Image width 240 mm, 1.00 mm slice spacing. Brain. 240x240.
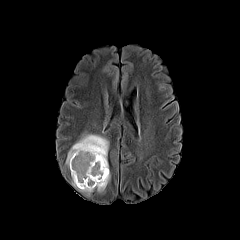
FLAIR magnetic resonance.
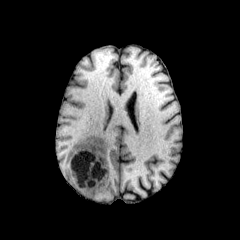
T1-weighted MRI.
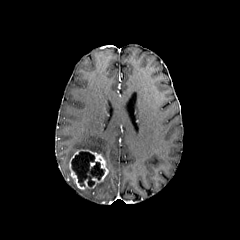
Same slice, post-contrast T1-weighted MR.
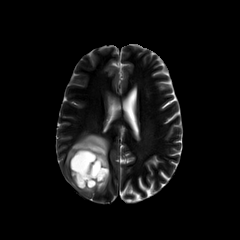
T2-weighted MRI of the same slice.
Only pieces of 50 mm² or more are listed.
enhancing_tumor:
  - region(69, 149, 108, 189)
necrotic_tumor_core:
  - region(71, 151, 104, 186)
peritumoral_edema:
  - region(95, 169, 110, 192)
  - region(79, 188, 93, 194)
  - region(65, 134, 108, 168)